Image size 240x240 | Axial slice | Head
FLAIR MRI.
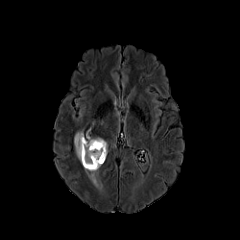
T1-weighted MR image.
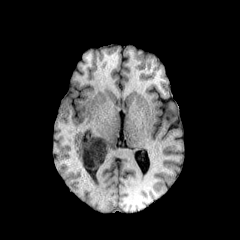
Post-contrast T1-weighted magnetic resonance.
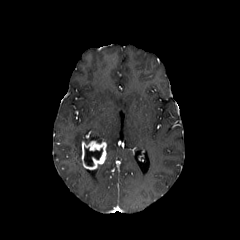
T2-weighted MR.
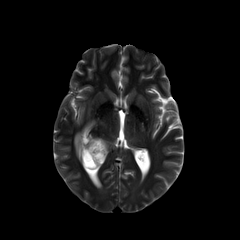
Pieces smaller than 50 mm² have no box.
The largest enhancing tumor region is at x1=81, y1=141, x2=106, y2=169. The necrotic tumor core lies within x1=84, y1=146, x2=102, y2=166. The largest peritumoral edema region is located at x1=74, y1=131, x2=104, y2=162.